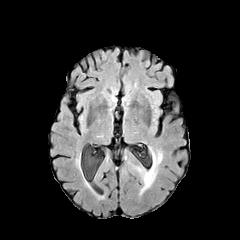
FLAIR magnetic resonance.
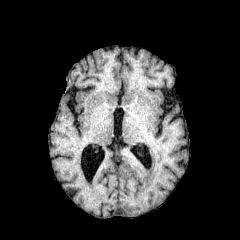
T1-weighted MRI.
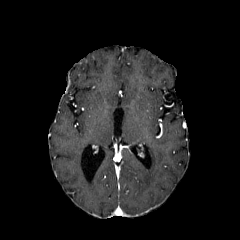
Post-contrast T1-weighted MRI.
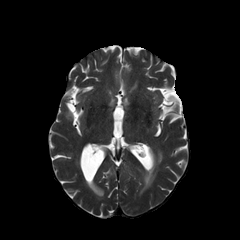
Same slice, T2-weighted magnetic resonance.
Axial plane
<segmentation>
  <peritumoral_edema>[x1=137, y1=152, x2=162, y2=193]</peritumoral_edema>
</segmentation>